FLAIR magnetic resonance.
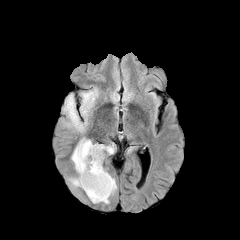
T1-weighted MR.
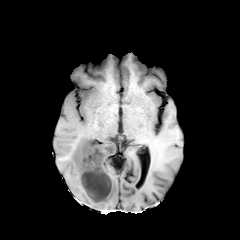
Post-contrast T1-weighted magnetic resonance.
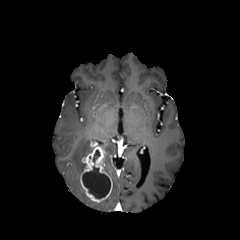
T2-weighted MR.
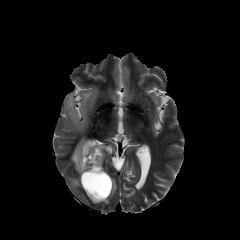
240x240 px. Axial slice.
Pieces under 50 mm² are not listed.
The enhancing tumor is located at bbox(80, 143, 112, 202). The 4 largest peritumoral edema regions are bounded by bbox(64, 90, 97, 131); bbox(110, 178, 116, 195); bbox(69, 137, 93, 188); bbox(98, 144, 115, 154). The 2 largest necrotic tumor core regions appear at bbox(92, 150, 100, 162); bbox(82, 166, 110, 198).